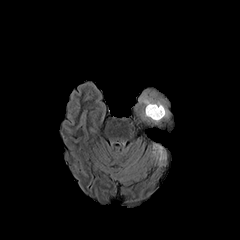
FLAIR magnetic resonance.
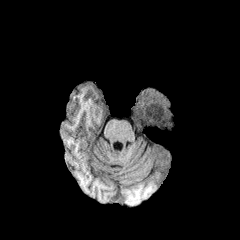
T1-weighted magnetic resonance.
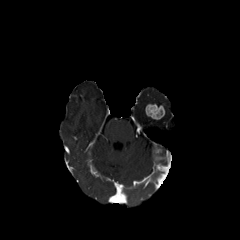
Post-contrast T1-weighted magnetic resonance.
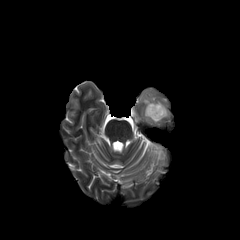
T2-weighted MR image of the same slice.
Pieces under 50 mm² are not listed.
enhancing tumor = bbox(145, 104, 164, 119)
peritumoral edema = bbox(139, 89, 169, 121)